FLAIR MRI.
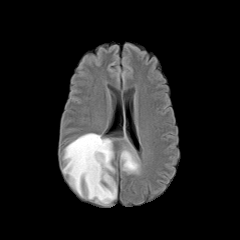
T1-weighted MR image.
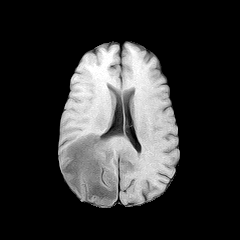
Post-contrast T1-weighted MRI.
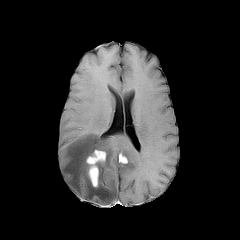
T2-weighted magnetic resonance.
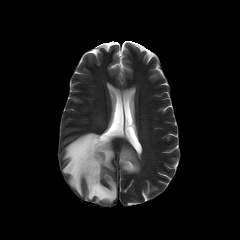
240x240 px; Brain
• peritumoral edema: rect(120, 147, 139, 173); rect(62, 133, 116, 204)
• enhancing tumor: rect(119, 154, 127, 163); rect(86, 150, 105, 187)